FLAIR magnetic resonance.
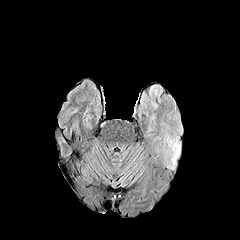
T1-weighted MR image.
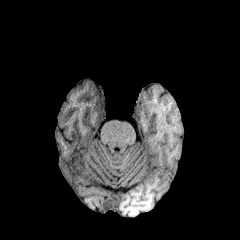
Post-contrast T1-weighted MRI.
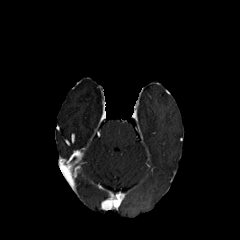
T2-weighted magnetic resonance.
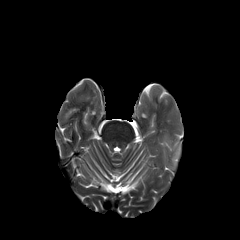
Head | Axial slice
The peritumoral edema appears at {"x1": 167, "y1": 136, "x2": 180, "y2": 163}.